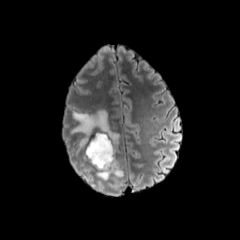
FLAIR MRI.
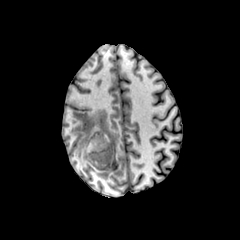
Same slice, T1-weighted magnetic resonance.
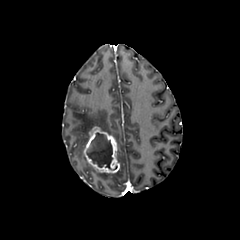
Post-contrast T1-weighted MR.
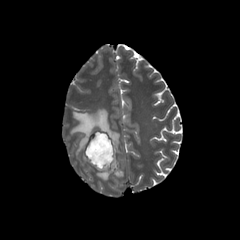
T2-weighted magnetic resonance of the same slice.
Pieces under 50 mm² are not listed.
enhancing tumor: 84,126,119,173 | necrotic tumor core: 87,133,112,169 | peritumoral edema: 71,109,119,149; 96,163,123,180